Image width 240 mm, Head
FLAIR MRI.
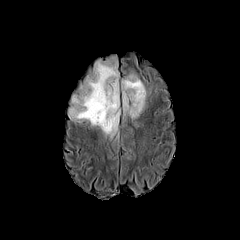
T1-weighted MR image.
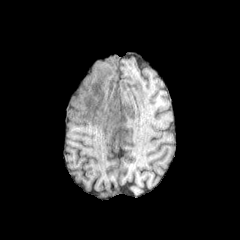
Post-contrast T1-weighted MR.
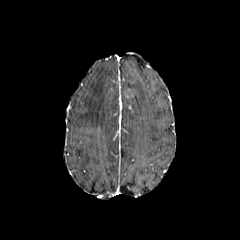
T2-weighted MR image.
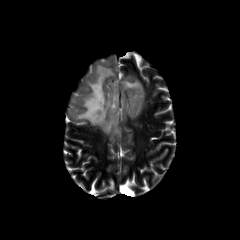
<segmentation>
  <enhancing_tumor>x1=126 y1=90 x2=133 y2=98</enhancing_tumor>
  <peritumoral_edema>x1=68 y1=57 x2=146 y2=138</peritumoral_edema>
</segmentation>